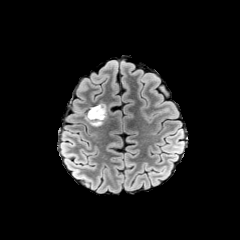
FLAIR magnetic resonance.
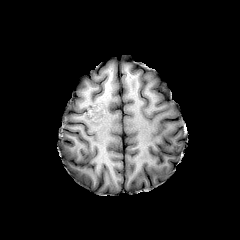
T1-weighted MR.
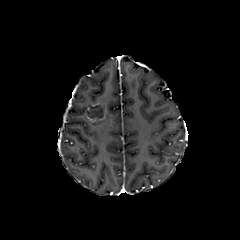
Post-contrast T1-weighted MRI.
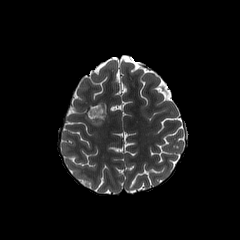
Same slice, T2-weighted MRI.
Axial view, Head
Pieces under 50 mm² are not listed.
peritumoral edema: [85, 116, 102, 126]
enhancing tumor: [86, 104, 106, 122]
necrotic tumor core: [88, 105, 103, 118]